FLAIR MR.
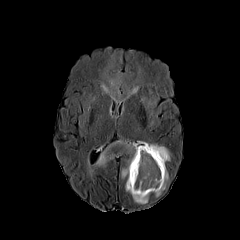
T1-weighted MRI.
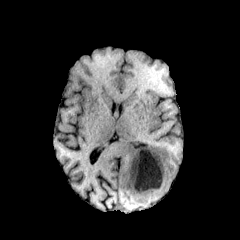
Post-contrast T1-weighted magnetic resonance.
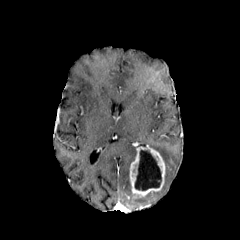
T2-weighted magnetic resonance.
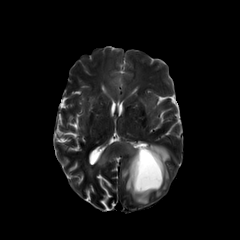
Axial view
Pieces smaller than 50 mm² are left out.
{"peritumoral_edema": ["99 60 140 98", "137 141 170 162", "141 97 161 127", "154 169 168 196", "121 151 149 203", "98 142 135 165"], "enhancing_tumor": ["129 144 165 197"], "necrotic_tumor_core": ["135 150 161 190"]}